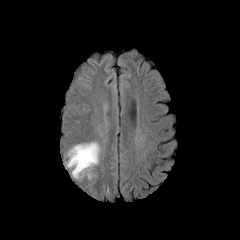
FLAIR magnetic resonance.
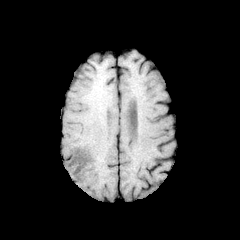
Same slice, T1-weighted MR image.
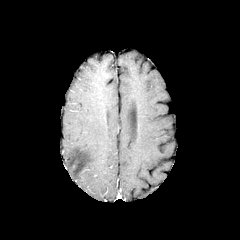
Post-contrast T1-weighted MR image.
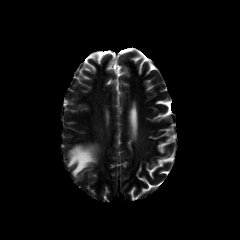
Same slice, T2-weighted MR image.
Axial plane
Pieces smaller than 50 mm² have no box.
The largest peritumoral edema region is located at [66, 142, 99, 178].